FLAIR magnetic resonance.
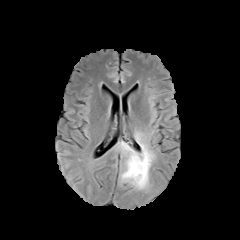
T1-weighted MR image.
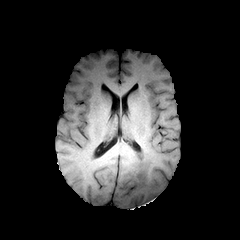
Post-contrast T1-weighted MR.
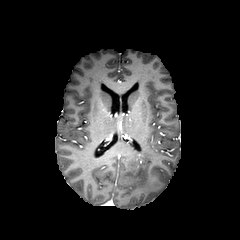
T2-weighted MR image.
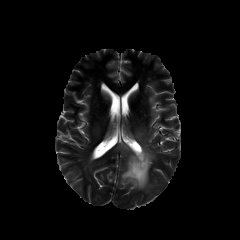
Axial view
Findings:
• peritumoral edema: x1=120 y1=133 x2=154 y2=189